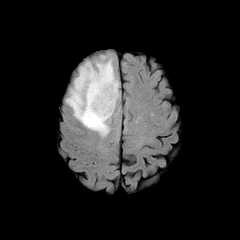
FLAIR magnetic resonance.
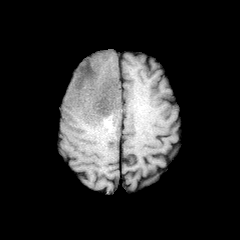
T1-weighted magnetic resonance.
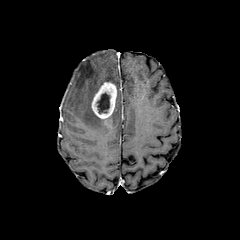
Post-contrast T1-weighted MRI.
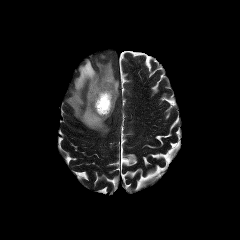
Same slice, T2-weighted MR image.
Head
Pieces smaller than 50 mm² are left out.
The enhancing tumor is located at x1=91, y1=82, x2=116, y2=118. The largest peritumoral edema region is at x1=66, y1=59, x2=118, y2=135. The necrotic tumor core lies within x1=97, y1=93, x2=109, y2=113.